Head, 240x240, Image width 240 mm
FLAIR MRI.
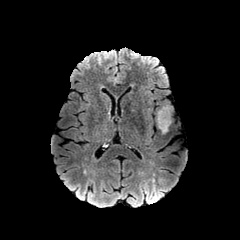
T1-weighted MR image.
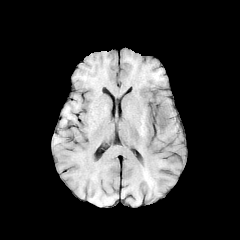
Post-contrast T1-weighted MR.
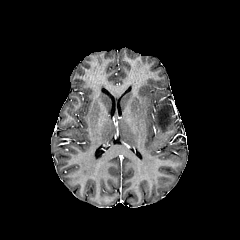
T2-weighted MR image.
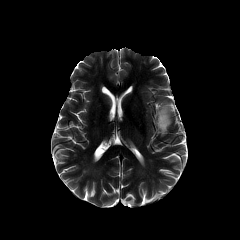
The peritumoral edema is at 156,102,172,134.